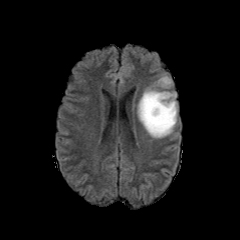
FLAIR MR image.
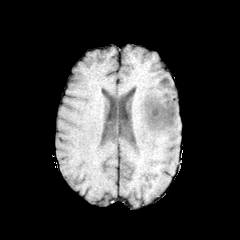
T1-weighted MR image of the same slice.
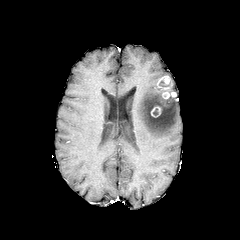
Post-contrast T1-weighted MR of the same slice.
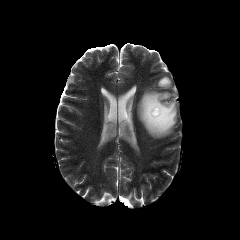
T2-weighted MRI.
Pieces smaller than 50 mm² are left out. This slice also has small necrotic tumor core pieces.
3 enhancing tumor regions appear at (151, 106, 160, 117), (162, 92, 176, 98), (157, 76, 171, 89). The peritumoral edema lies within (137, 88, 177, 137).